240x240 px, Image width 240 mm
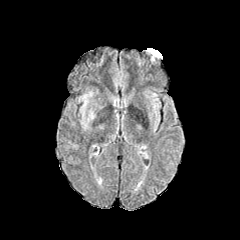
FLAIR MR image.
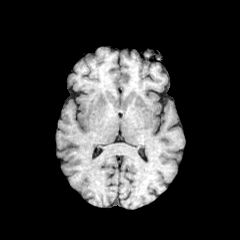
T1-weighted magnetic resonance.
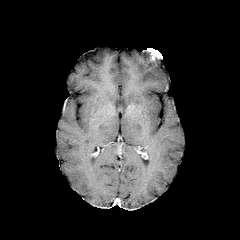
Post-contrast T1-weighted MRI.
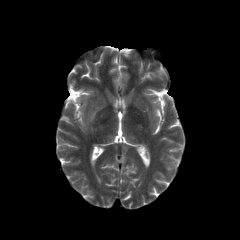
Same slice, T2-weighted MRI.
peritumoral edema — 79, 91, 95, 127